FLAIR MRI.
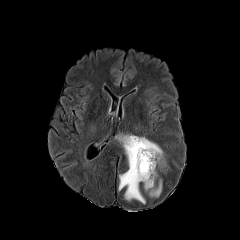
T1-weighted magnetic resonance.
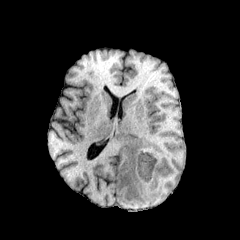
Post-contrast T1-weighted MRI.
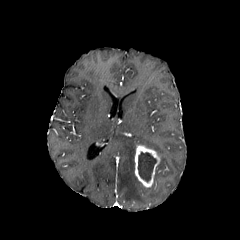
T2-weighted MRI.
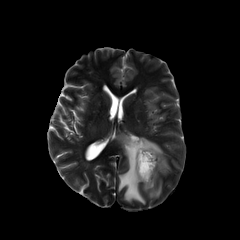
Axial plane, Head, 240x240
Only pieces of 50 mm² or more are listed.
{
  "enhancing_tumor": [
    "134, 144, 160, 188"
  ],
  "peritumoral_edema": [
    "116, 134, 163, 203",
    "144, 179, 161, 197"
  ],
  "necrotic_tumor_core": [
    "138, 152, 156, 181"
  ]
}